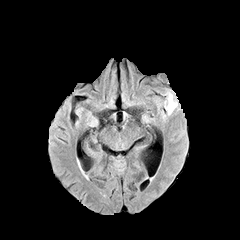
FLAIR MR.
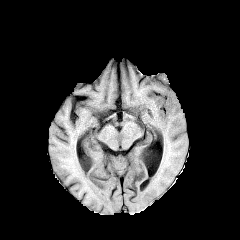
T1-weighted MR image.
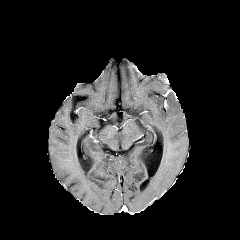
Post-contrast T1-weighted MRI of the same slice.
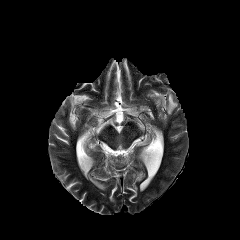
T2-weighted MR image.
Axial plane, 240x240
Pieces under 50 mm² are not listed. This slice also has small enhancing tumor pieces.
Segmented structures:
- peritumoral edema: <box>165,92,177,114</box>